Slice 97/155. Head. Image size 240x240.
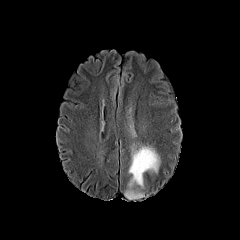
FLAIR magnetic resonance.
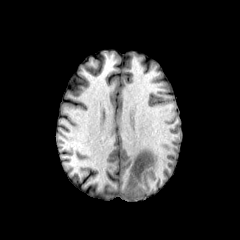
T1-weighted magnetic resonance.
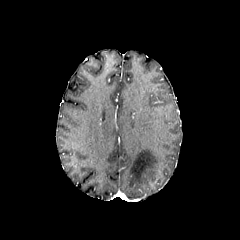
Post-contrast T1-weighted MR.
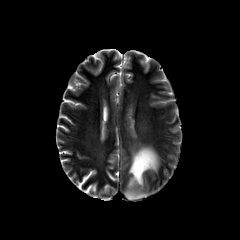
T2-weighted MR.
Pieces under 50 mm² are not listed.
<segmentation>
  <peritumoral_edema><bbox>127, 144, 161, 188</bbox>, <bbox>124, 189, 145, 200</bbox></peritumoral_edema>
</segmentation>